FLAIR MR.
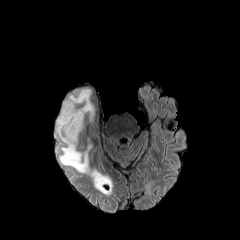
T1-weighted MR.
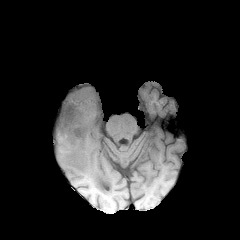
Post-contrast T1-weighted magnetic resonance.
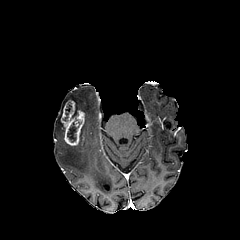
T2-weighted magnetic resonance.
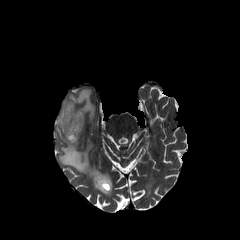
Head
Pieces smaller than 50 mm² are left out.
enhancing tumor at box=[61, 101, 84, 146]
necrotic tumor core at box=[67, 122, 78, 142]
peritumoral edema at box=[56, 89, 112, 194]